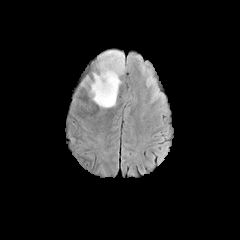
FLAIR magnetic resonance.
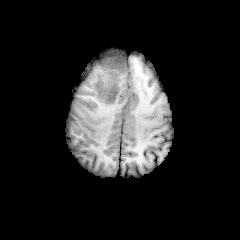
T1-weighted MRI of the same slice.
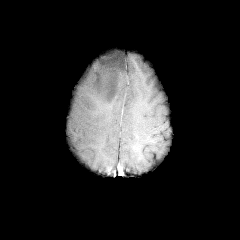
Post-contrast T1-weighted MRI.
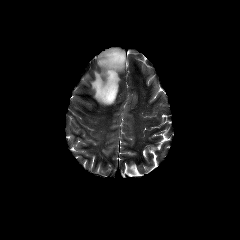
T2-weighted MR image.
Brain, Axial plane, 240x240 px
Annotated regions:
* peritumoral edema: l=81, t=50, r=124, b=108